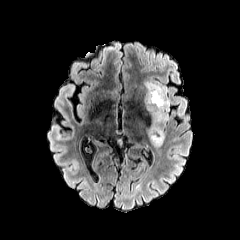
FLAIR MR image.
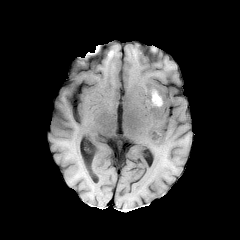
T1-weighted magnetic resonance.
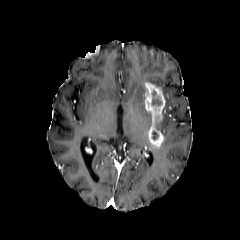
Post-contrast T1-weighted MR image of the same slice.
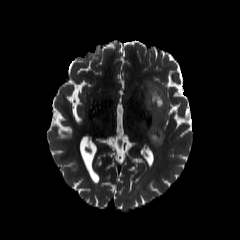
Same slice, T2-weighted magnetic resonance.
Axial plane. Brain.
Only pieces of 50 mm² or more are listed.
peritumoral edema at (146, 81, 170, 131), (178, 102, 185, 115)
enhancing tumor at (144, 82, 166, 147)
necrotic tumor core at (152, 90, 162, 105)